FLAIR magnetic resonance.
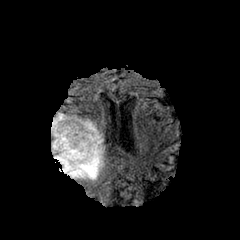
T1-weighted MR.
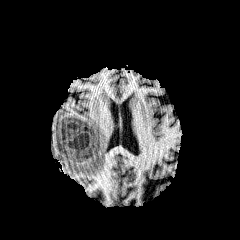
Post-contrast T1-weighted magnetic resonance.
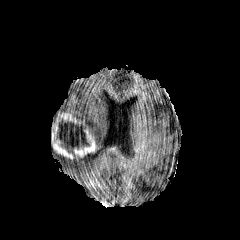
T2-weighted MR.
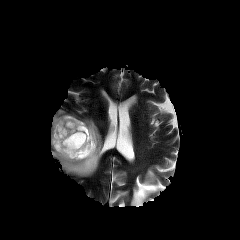
Brain.
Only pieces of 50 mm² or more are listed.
enhancing tumor: <bbox>52, 113, 98, 160</bbox> | necrotic tumor core: <bbox>56, 123, 89, 155</bbox> | peritumoral edema: <bbox>51, 113, 101, 177</bbox>